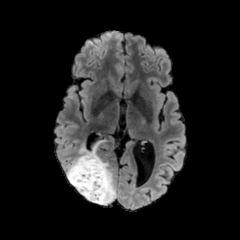
FLAIR MR image.
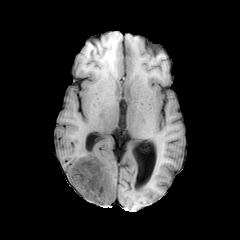
T1-weighted magnetic resonance of the same slice.
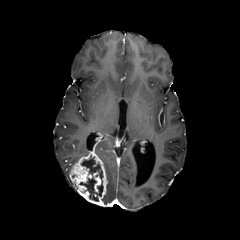
Post-contrast T1-weighted MRI of the same slice.
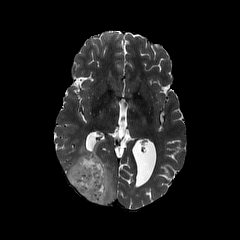
T2-weighted MR.
240x240. Brain.
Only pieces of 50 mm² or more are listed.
The 2 largest peritumoral edema regions are bounded by [103,161,116,205], [66,140,104,184]. The 2 largest necrotic tumor core regions are located at [80,177,103,201], [81,155,103,179]. The largest enhancing tumor region is located at [69,149,107,205].